FLAIR MR image.
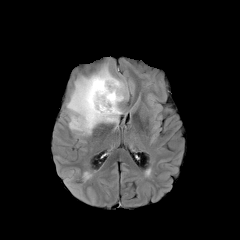
T1-weighted MR.
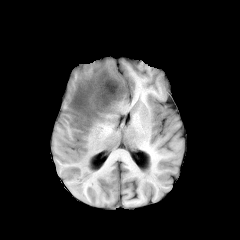
Post-contrast T1-weighted MRI.
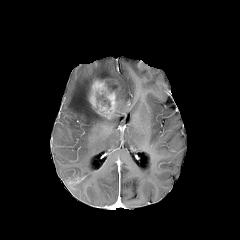
T2-weighted MR.
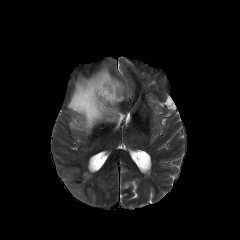
240x240 px; Head
enhancing tumor: bbox(88, 79, 120, 118) | peritumoral edema: bbox(66, 60, 128, 135)